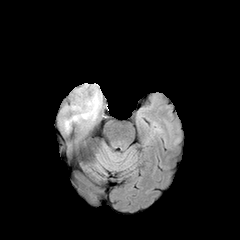
FLAIR MR image.
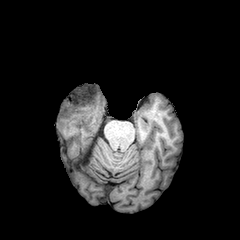
T1-weighted MRI of the same slice.
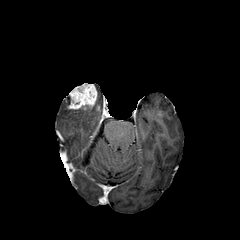
Post-contrast T1-weighted magnetic resonance.
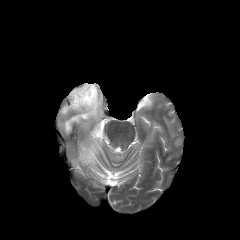
T2-weighted MR.
Axial view
Segmented structures:
- peritumoral edema: rect(61, 84, 102, 133)
- enhancing tumor: rect(67, 83, 97, 109)